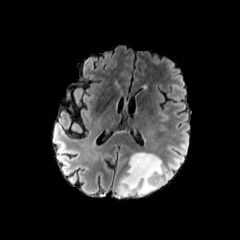
FLAIR MR.
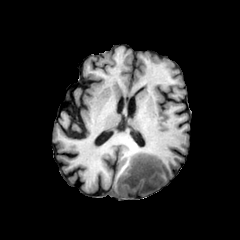
T1-weighted magnetic resonance.
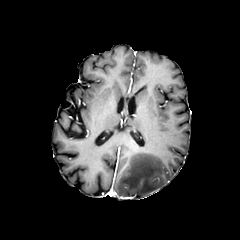
Post-contrast T1-weighted MR image.
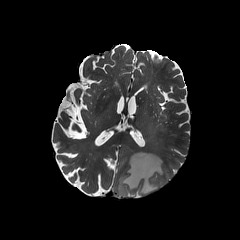
T2-weighted magnetic resonance of the same slice.
Head
peritumoral_edema:
  - left=117, top=152, right=163, bottom=197